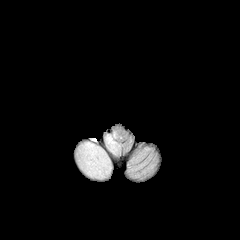
FLAIR MR.
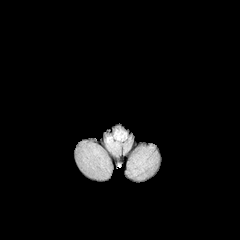
T1-weighted MR image.
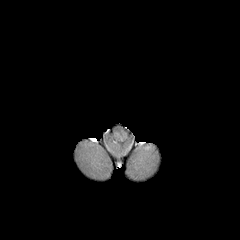
Post-contrast T1-weighted MRI.
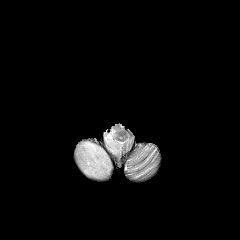
T2-weighted MRI.
Axial view | Brain
2 peritumoral edema regions are bounded by [105,131,122,155], [76,141,111,178].